Slice index 56
FLAIR MR image.
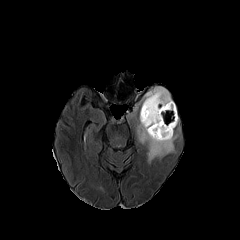
T1-weighted magnetic resonance.
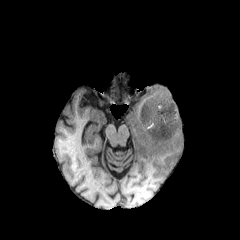
Post-contrast T1-weighted magnetic resonance.
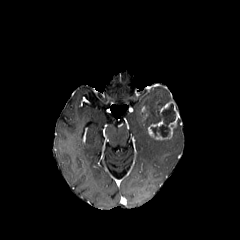
T2-weighted MR.
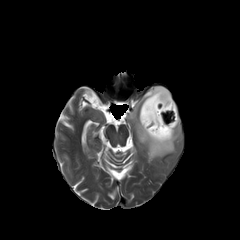
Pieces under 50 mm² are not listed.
peritumoral edema at <bbox>137, 87, 178, 163</bbox>
necrotic tumor core at <bbox>151, 104, 175, 137</bbox>
enhancing tumor at <bbox>147, 101, 179, 140</bbox>